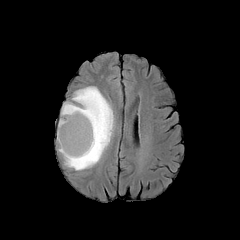
FLAIR MR.
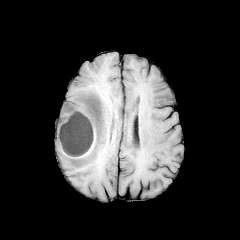
Same slice, T1-weighted MR image.
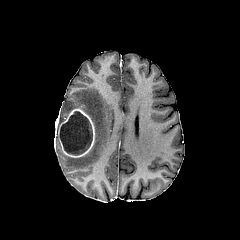
Post-contrast T1-weighted MRI.
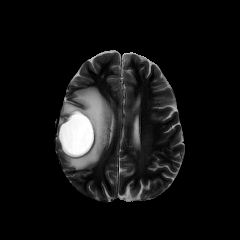
Same slice, T2-weighted magnetic resonance.
Brain, 240x240, Axial slice
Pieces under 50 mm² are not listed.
The necrotic tumor core is bounded by box=[59, 111, 92, 154]. The enhancing tumor is at box=[57, 108, 95, 157]. The largest peritumoral edema region is at box=[58, 87, 112, 170].